Slice index 74, Axial plane, Head
FLAIR MR image.
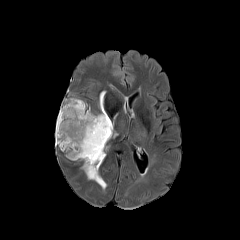
T1-weighted magnetic resonance.
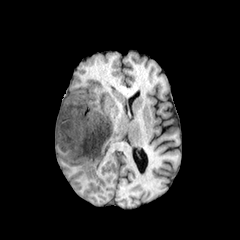
Post-contrast T1-weighted MR image.
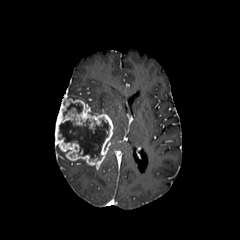
T2-weighted magnetic resonance.
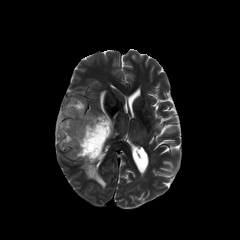
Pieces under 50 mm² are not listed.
necrotic tumor core: bounding box rect(63, 103, 82, 115); rect(59, 120, 108, 159)
enhancing tumor: bounding box rect(55, 90, 113, 166)
peritumoral edema: bounding box rect(99, 91, 105, 113); rect(81, 161, 106, 190)